Head
FLAIR MR.
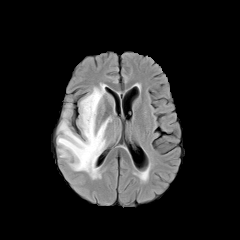
T1-weighted MRI.
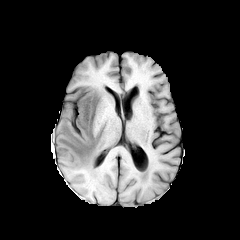
Post-contrast T1-weighted magnetic resonance.
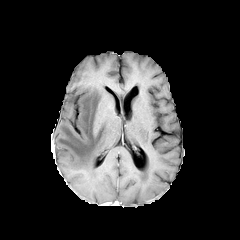
T2-weighted MR image.
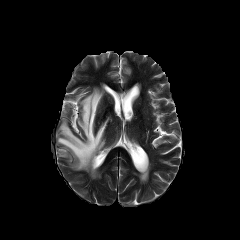
peritumoral edema — [x1=57, y1=84, x2=111, y2=178]